FLAIR MR.
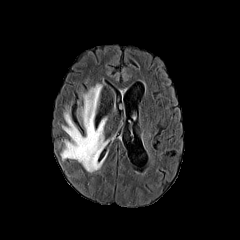
T1-weighted MRI.
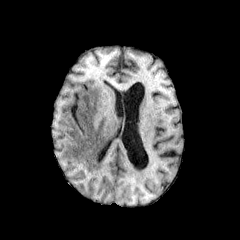
Post-contrast T1-weighted magnetic resonance.
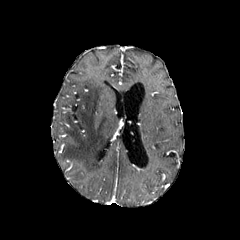
T2-weighted MRI.
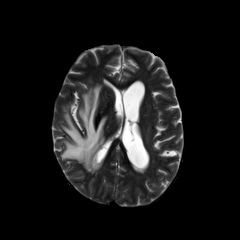
240x240 px; Brain
Annotated regions:
* peritumoral edema: 61:84:107:172